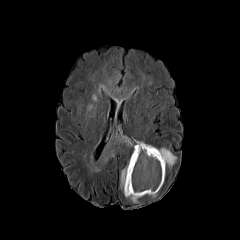
FLAIR MRI.
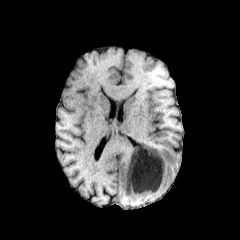
Same slice, T1-weighted magnetic resonance.
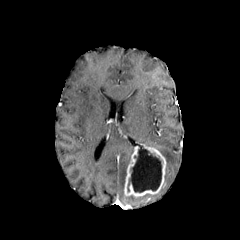
Post-contrast T1-weighted MR image.
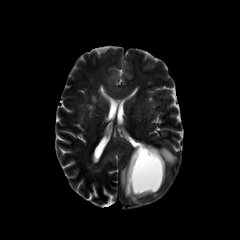
T2-weighted MRI.
240x240 px. Brain.
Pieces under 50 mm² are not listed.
enhancing tumor at (x1=124, y1=143, x2=166, y2=197)
peritumoral edema at (x1=125, y1=195, x2=140, y2=202), (x1=107, y1=87, x2=129, y2=99), (x1=158, y1=147, x2=176, y2=167), (x1=90, y1=136, x2=132, y2=171), (x1=120, y1=166, x2=127, y2=189)
necrotic tumor core at (x1=127, y1=144, x2=161, y2=192)